FLAIR MR image.
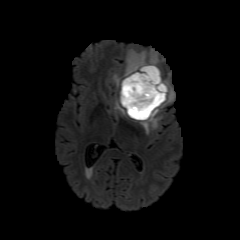
T1-weighted MRI.
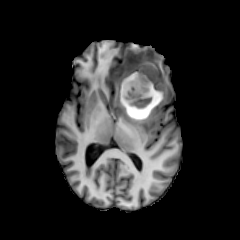
Post-contrast T1-weighted MRI.
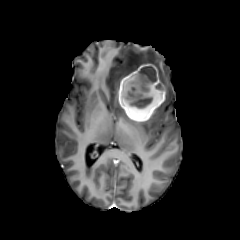
T2-weighted MR.
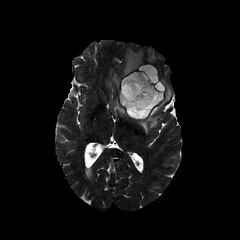
Brain
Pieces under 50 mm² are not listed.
The enhancing tumor appears at 118,64,165,121. 3 peritumoral edema regions are bounded by 114,98,126,115; 138,67,174,133; 112,49,159,88. The largest necrotic tumor core region is bounded by 122,66,159,117.